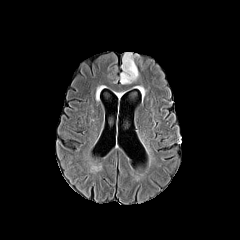
FLAIR MRI.
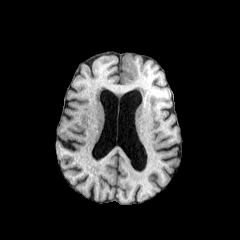
Same slice, T1-weighted MR image.
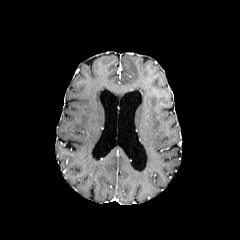
Post-contrast T1-weighted magnetic resonance.
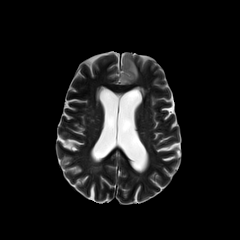
T2-weighted magnetic resonance of the same slice.
Brain
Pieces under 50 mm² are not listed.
peritumoral edema = region(120, 53, 138, 84)